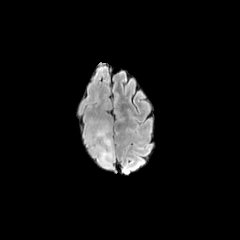
FLAIR MR.
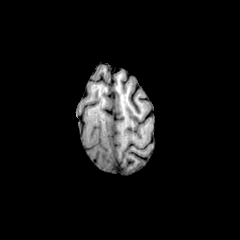
T1-weighted MR.
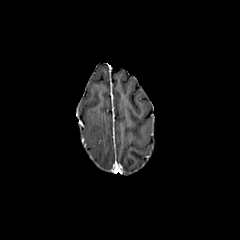
Post-contrast T1-weighted magnetic resonance of the same slice.
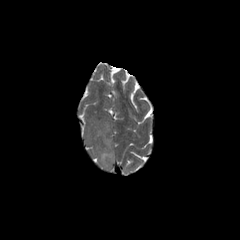
T2-weighted MR of the same slice.
Axial view; 240x240 px
The peritumoral edema appears at x1=93, y1=125, x2=114, y2=168.